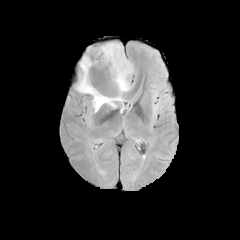
FLAIR MR.
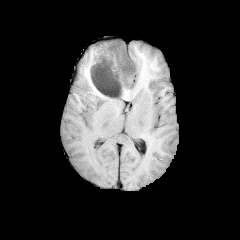
T1-weighted MRI.
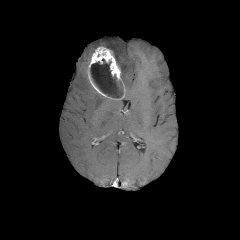
Post-contrast T1-weighted MR image of the same slice.
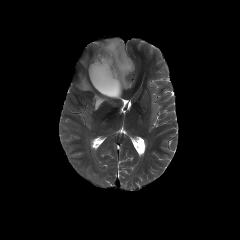
Same slice, T2-weighted MR.
Axial slice. 240x240.
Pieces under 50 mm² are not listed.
<segmentation>
  <peritumoral_edema>left=102, top=42, right=133, bottom=90; left=77, top=45, right=115, bottom=111</peritumoral_edema>
  <enhancing_tumor>left=87, top=46, right=126, bottom=100</enhancing_tumor>
  <necrotic_tumor_core>left=90, top=59, right=122, bottom=97</necrotic_tumor_core>
</segmentation>